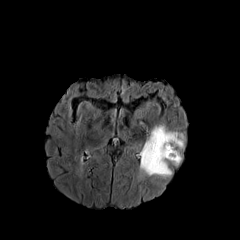
FLAIR MR image.
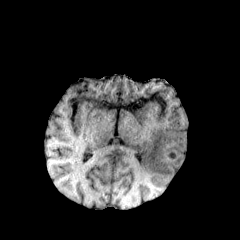
T1-weighted MR image of the same slice.
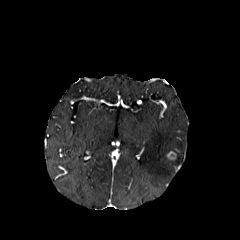
Post-contrast T1-weighted MR image.
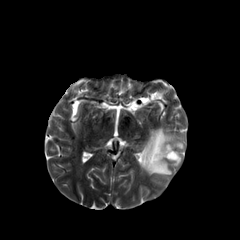
T2-weighted MRI of the same slice.
Brain
The enhancing tumor appears at <box>166,151,176,160</box>. The peritumoral edema is at <box>140,125,184,177</box>.